Axial plane, Slice 80 of 155
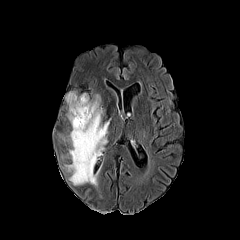
FLAIR MR.
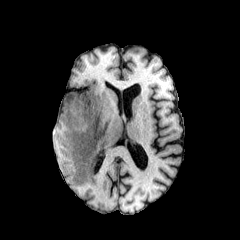
Same slice, T1-weighted magnetic resonance.
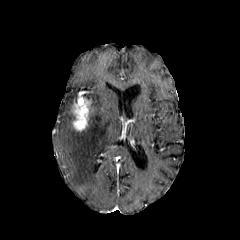
Post-contrast T1-weighted magnetic resonance.
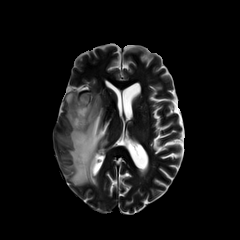
T2-weighted MR image of the same slice.
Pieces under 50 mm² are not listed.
enhancing_tumor:
  - box(71, 94, 93, 131)
peritumoral_edema:
  - box(63, 92, 109, 185)